Head | 240x240 px | Slice index 119
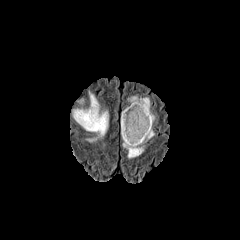
FLAIR MR image.
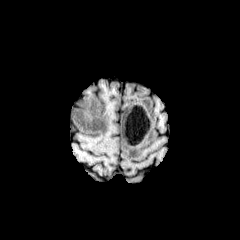
Same slice, T1-weighted MRI.
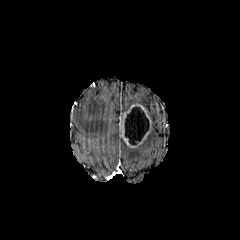
Post-contrast T1-weighted magnetic resonance.
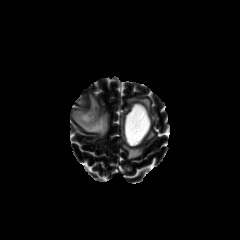
Same slice, T2-weighted MR image.
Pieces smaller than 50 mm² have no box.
Segmented structures:
- peritumoral edema: x1=128, y1=96, x2=154, y2=123; x1=73, y1=93, x2=108, y2=136; x1=143, y1=128, x2=154, y2=143; x1=123, y1=142, x2=143, y2=158
- enhancing tumor: x1=120, y1=103, x2=151, y2=147
- necrotic tumor core: x1=125, y1=106, x2=149, y2=144